FLAIR MR image.
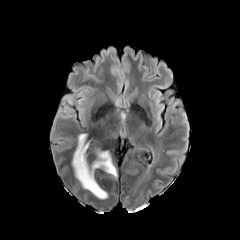
T1-weighted MRI.
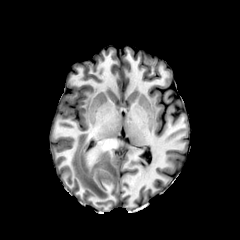
Post-contrast T1-weighted MR image.
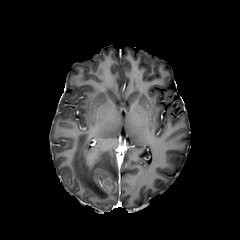
T2-weighted magnetic resonance.
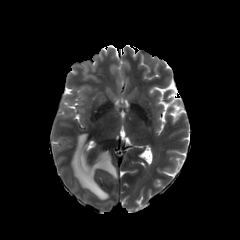
240x240. Brain.
The peritumoral edema appears at [72,134,117,199].